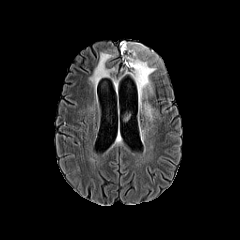
FLAIR MR image.
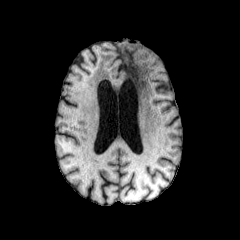
Same slice, T1-weighted MRI.
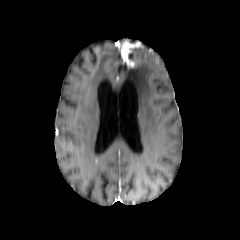
Post-contrast T1-weighted MR image.
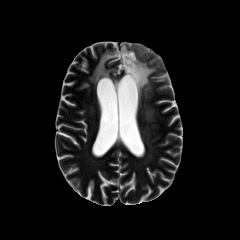
T2-weighted magnetic resonance.
240x240 px. Axial view.
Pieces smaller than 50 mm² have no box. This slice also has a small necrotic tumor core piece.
enhancing tumor = region(121, 41, 143, 68)
peritumoral edema = region(90, 53, 115, 85); region(125, 46, 156, 108); region(144, 104, 151, 119)